FLAIR MRI.
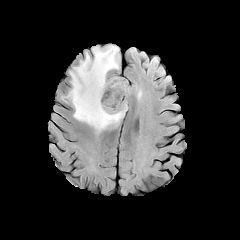
T1-weighted MRI.
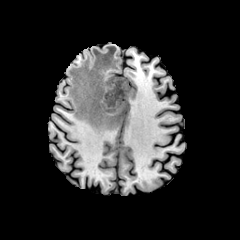
Post-contrast T1-weighted MR.
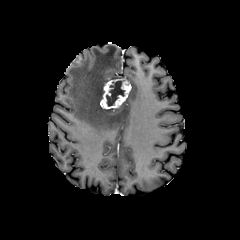
T2-weighted MRI.
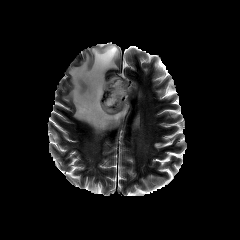
240x240 px; Brain
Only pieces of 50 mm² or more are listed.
enhancing tumor: (left=100, top=79, right=131, bottom=108) | necrotic tumor core: (left=106, top=81, right=124, bottom=106) | peritumoral edema: (left=63, top=45, right=127, bottom=133)